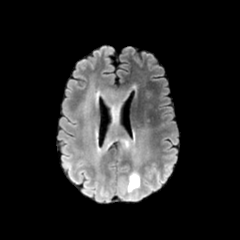
FLAIR magnetic resonance.
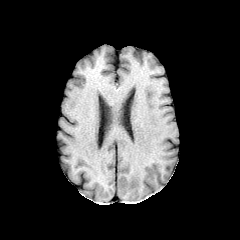
T1-weighted MR image.
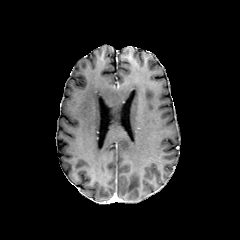
Post-contrast T1-weighted magnetic resonance of the same slice.
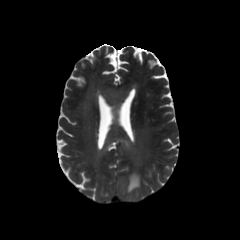
T2-weighted MR of the same slice.
240x240 px, Head, Axial plane
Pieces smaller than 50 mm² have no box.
peritumoral_edema:
  - x1=127 y1=172 x2=139 y2=191
  - x1=103 y1=90 x2=149 y2=169